Slice 109/155; 240x240 px; Head; Axial plane
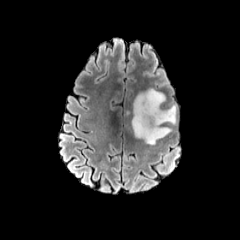
FLAIR MRI.
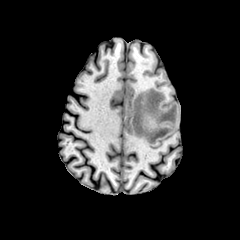
Same slice, T1-weighted magnetic resonance.
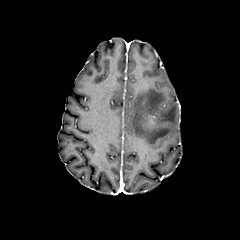
Post-contrast T1-weighted magnetic resonance.
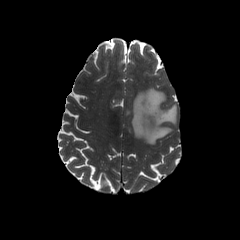
T2-weighted MR image of the same slice.
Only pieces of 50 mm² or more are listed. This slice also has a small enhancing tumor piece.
Annotated regions:
* peritumoral edema: rect(126, 88, 176, 144)